FLAIR MRI.
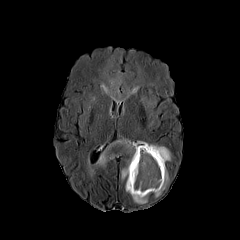
T1-weighted MRI.
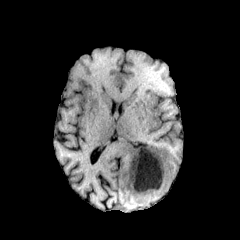
Post-contrast T1-weighted MR.
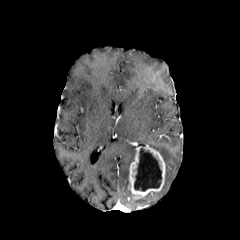
T2-weighted MR.
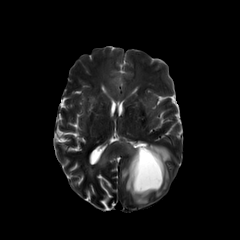
Axial plane, Image size 240x240, Head
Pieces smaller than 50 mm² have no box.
enhancing tumor: [128, 144, 165, 198]
peritumoral edema: [149, 144, 170, 163], [142, 92, 158, 128], [109, 74, 129, 99], [153, 169, 168, 196], [99, 141, 148, 203]
necrotic tumor core: [134, 148, 161, 191]